FLAIR magnetic resonance.
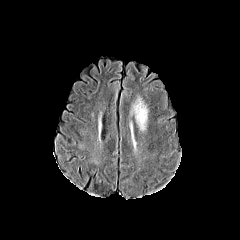
T1-weighted MRI.
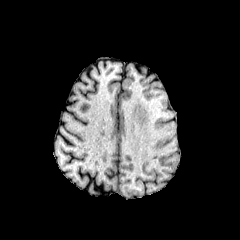
Post-contrast T1-weighted MR image.
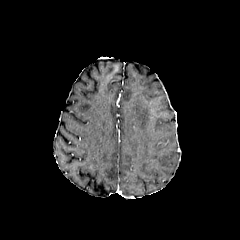
T2-weighted MR.
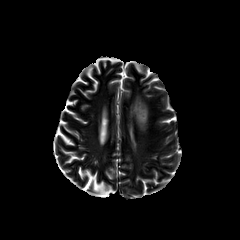
Brain
{"peritumoral_edema": ["133 98 147 129"]}